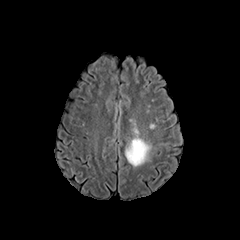
FLAIR MR.
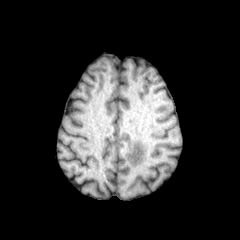
T1-weighted magnetic resonance.
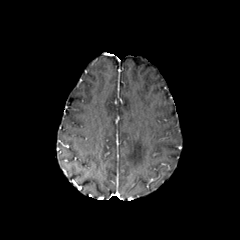
Post-contrast T1-weighted magnetic resonance of the same slice.
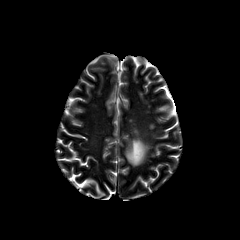
T2-weighted magnetic resonance.
Axial plane. Brain.
peritumoral_edema:
  - l=125, t=120, r=151, b=166